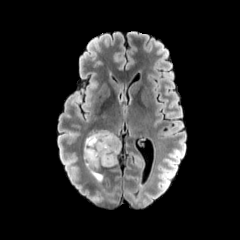
FLAIR MR image.
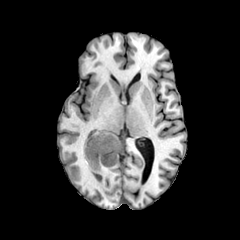
Same slice, T1-weighted magnetic resonance.
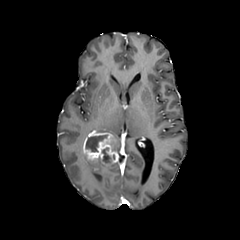
Same slice, post-contrast T1-weighted MR image.
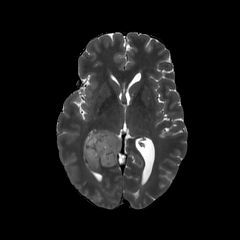
T2-weighted MRI.
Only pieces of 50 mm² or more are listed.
necrotic tumor core: rect(85, 135, 107, 151); rect(102, 147, 110, 162) | enhancing tumor: rect(83, 131, 118, 165) | peritumoral edema: rect(83, 153, 118, 182); rect(97, 130, 120, 150)